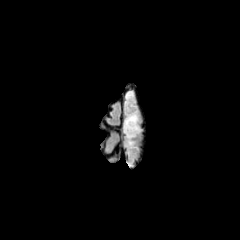
FLAIR magnetic resonance.
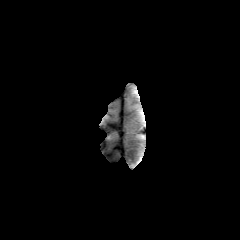
T1-weighted magnetic resonance of the same slice.
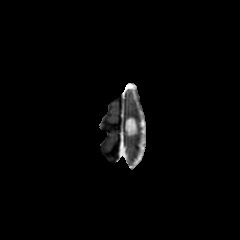
Post-contrast T1-weighted MR.
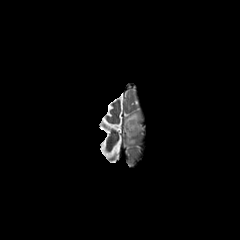
T2-weighted MR of the same slice.
Head.
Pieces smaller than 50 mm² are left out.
The largest peritumoral edema region appears at {"x1": 124, "y1": 92, "x2": 140, "y2": 147}. The enhancing tumor is at {"x1": 125, "y1": 117, "x2": 137, "y2": 136}.